FLAIR MR.
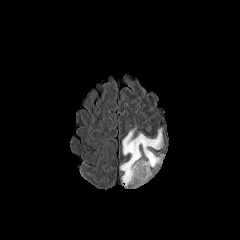
T1-weighted MR image.
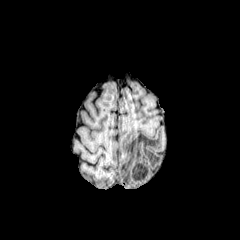
Post-contrast T1-weighted magnetic resonance.
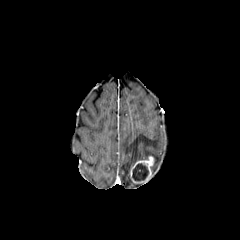
T2-weighted magnetic resonance.
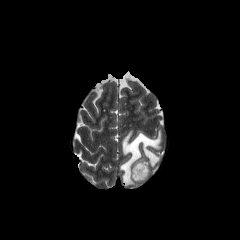
The peritumoral edema is bounded by region(120, 127, 163, 187). The enhancing tumor appears at region(129, 156, 154, 183). The necrotic tumor core is located at region(132, 163, 148, 181).